Axial view
FLAIR MRI.
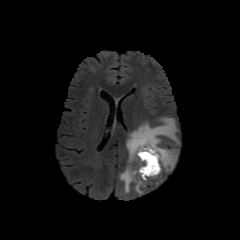
T1-weighted MRI.
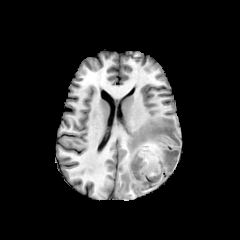
Post-contrast T1-weighted MR.
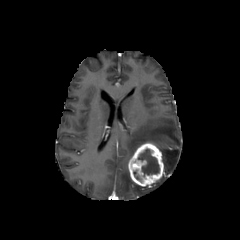
T2-weighted MR image.
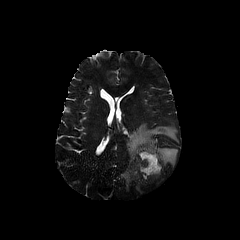
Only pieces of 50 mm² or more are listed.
The enhancing tumor is located at bbox(128, 141, 163, 186). 3 peritumoral edema regions appear at bbox(119, 164, 132, 192); bbox(135, 183, 142, 194); bbox(126, 117, 179, 171). The largest necrotic tumor core region appears at bbox(138, 149, 159, 176).